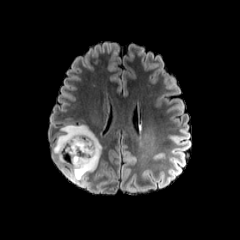
FLAIR MR.
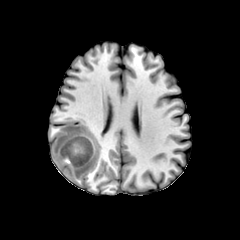
T1-weighted MR.
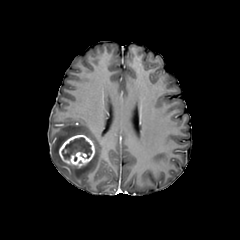
Post-contrast T1-weighted MR image.
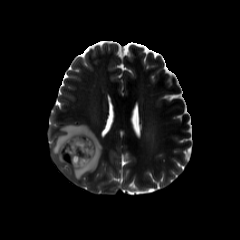
T2-weighted MRI of the same slice.
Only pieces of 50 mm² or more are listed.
Segmented structures:
- peritumoral edema: region(52, 124, 101, 181)
- enhancing tumor: region(58, 134, 95, 167)
- necrotic tumor core: region(62, 137, 91, 159)